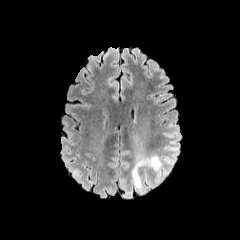
FLAIR MR.
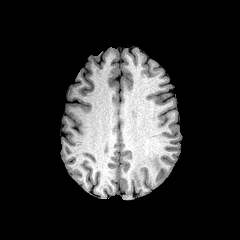
T1-weighted MR image of the same slice.
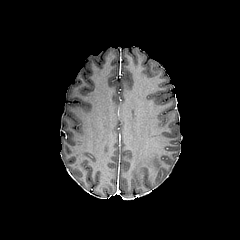
Post-contrast T1-weighted MR.
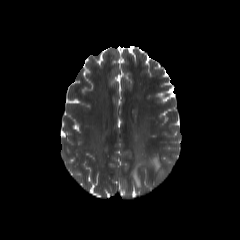
T2-weighted MRI of the same slice.
Head | Image size 240x240
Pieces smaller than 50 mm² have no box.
Annotated regions:
- peritumoral edema: 131 154 162 190, 163 155 174 165